FLAIR MRI.
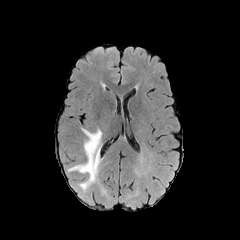
T1-weighted MR.
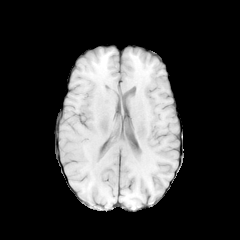
Post-contrast T1-weighted MR.
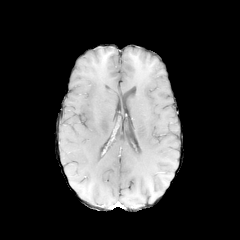
T2-weighted magnetic resonance.
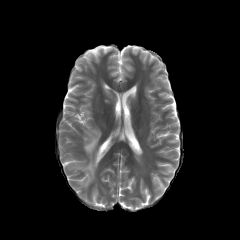
Axial slice, Image size 240x240
peritumoral edema at [x1=68, y1=128, x2=102, y2=189]